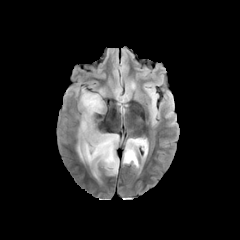
FLAIR magnetic resonance.
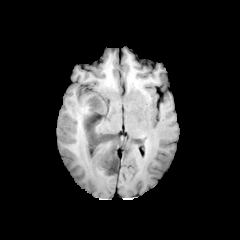
T1-weighted MRI of the same slice.
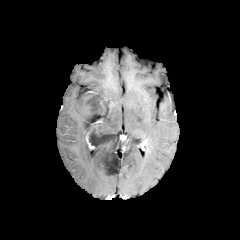
Post-contrast T1-weighted MR.
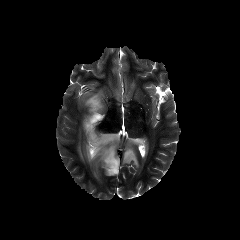
Same slice, T2-weighted MR image.
Brain; Axial view; 240x240 px
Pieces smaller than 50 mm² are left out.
Findings:
• necrotic tumor core: <bbox>85, 114, 114, 151</bbox>, <bbox>104, 151, 118, 174</bbox>
• peritumoral edema: <bbox>123, 138, 148, 167</bbox>, <bbox>77, 91, 119, 178</bbox>